FLAIR MR image.
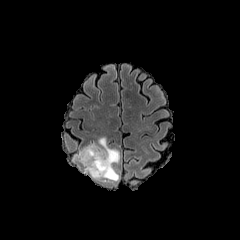
T1-weighted MR.
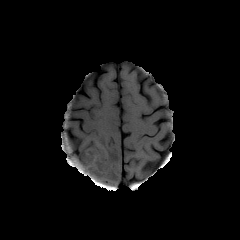
Post-contrast T1-weighted magnetic resonance.
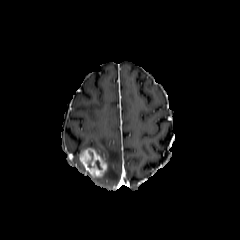
T2-weighted MRI.
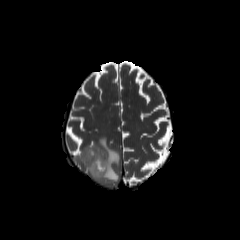
Image size 240x240.
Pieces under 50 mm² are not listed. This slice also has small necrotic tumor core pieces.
enhancing tumor at 79, 148, 107, 176
peritumoral edema at 73, 136, 120, 182